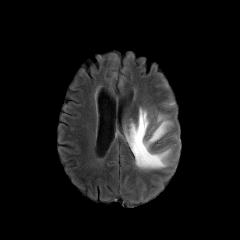
FLAIR MR.
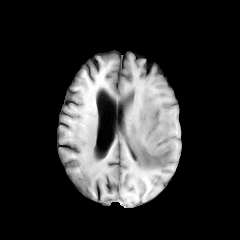
T1-weighted MR image.
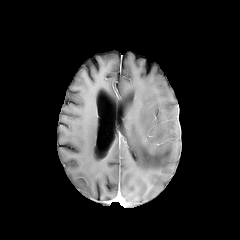
Post-contrast T1-weighted MR image of the same slice.
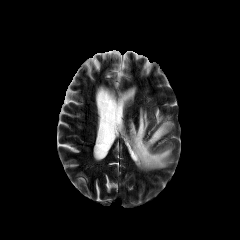
T2-weighted MRI.
Axial slice; Brain; 240x240 px
peritumoral edema: bounding box (x1=125, y1=108, x2=172, y2=169)